FLAIR MRI.
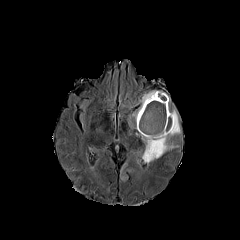
T1-weighted MR image.
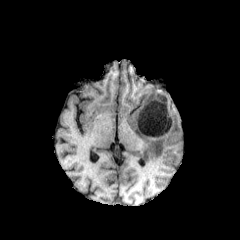
Post-contrast T1-weighted MR image.
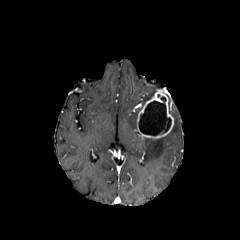
T2-weighted MRI.
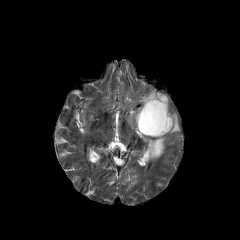
Head
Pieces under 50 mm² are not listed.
peritumoral edema: (left=141, top=89, right=156, bottom=105), (left=143, top=108, right=180, bottom=162)
necrotic tumor core: (left=138, top=96, right=171, bottom=135)
enhancing tumor: (left=137, top=90, right=173, bottom=138)